Axial plane | Head | 240x240 px
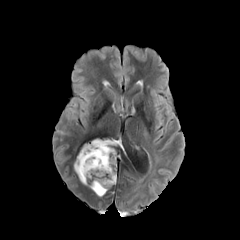
FLAIR MR.
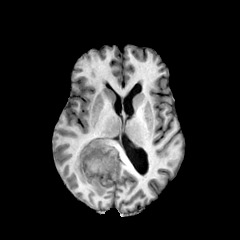
Same slice, T1-weighted MRI.
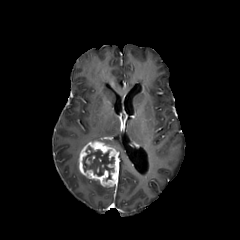
Post-contrast T1-weighted magnetic resonance of the same slice.
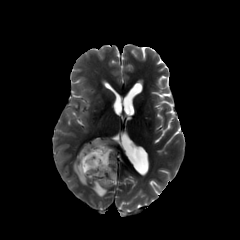
T2-weighted MR image.
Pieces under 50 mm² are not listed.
<segmentation>
  <enhancing_tumor><box>78,141,118,186</box></enhancing_tumor>
  <necrotic_tumor_core><box>83,146,114,179</box></necrotic_tumor_core>
  <peritumoral_edema><box>74,155,86,184</box>, <box>92,139,120,145</box>, <box>91,180,107,196</box></peritumoral_edema>
</segmentation>